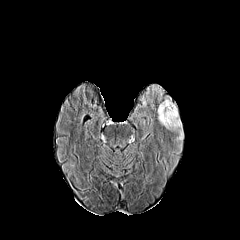
FLAIR MR image.
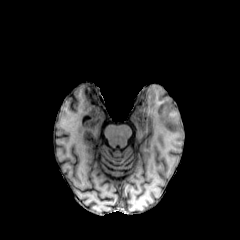
Same slice, T1-weighted MRI.
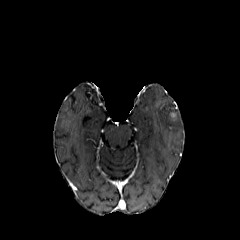
Post-contrast T1-weighted magnetic resonance.
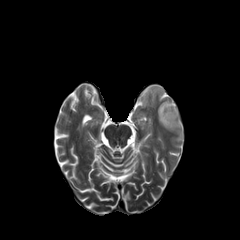
Same slice, T2-weighted MRI.
Axial view. Head.
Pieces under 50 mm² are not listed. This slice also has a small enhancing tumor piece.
{"peritumoral_edema": ["bbox(158, 97, 183, 140)"]}